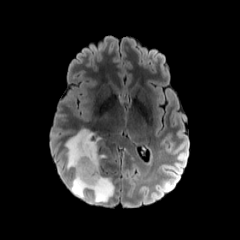
FLAIR MRI.
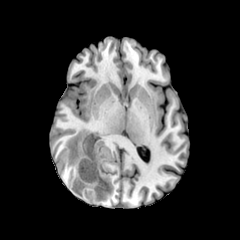
T1-weighted magnetic resonance.
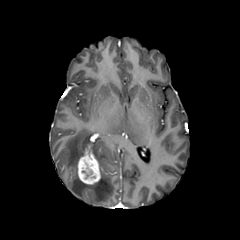
Post-contrast T1-weighted magnetic resonance of the same slice.
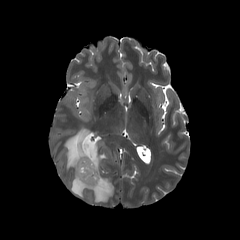
T2-weighted MR.
Axial view. Head. Image size 240x240.
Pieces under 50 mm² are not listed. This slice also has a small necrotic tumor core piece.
<segmentation>
  <peritumoral_edema>65:129:114:203</peritumoral_edema>
  <enhancing_tumor>77:145:100:184</enhancing_tumor>
</segmentation>